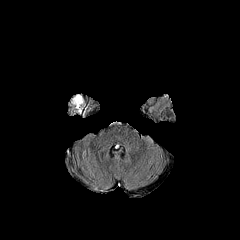
FLAIR MR.
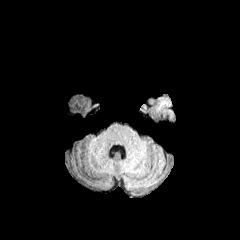
T1-weighted magnetic resonance of the same slice.
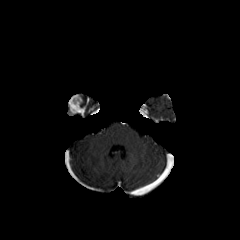
Post-contrast T1-weighted MR image.
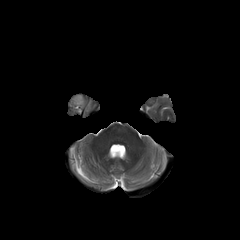
T2-weighted magnetic resonance.
Head | Axial view
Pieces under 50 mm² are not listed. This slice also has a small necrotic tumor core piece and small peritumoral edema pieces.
<segmentation>
  <enhancing_tumor><box>68,94,85,115</box></enhancing_tumor>
</segmentation>